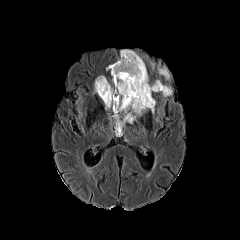
FLAIR magnetic resonance.
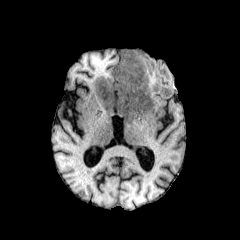
Same slice, T1-weighted MRI.
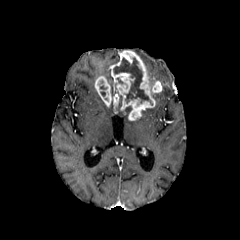
Post-contrast T1-weighted magnetic resonance.
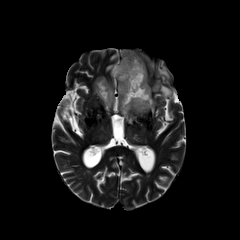
Same slice, T2-weighted MR.
Brain
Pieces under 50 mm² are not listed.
necrotic_tumor_core:
  - rect(113, 58, 149, 103)
enhancing_tumor:
  - rect(94, 50, 162, 120)
peritumoral_edema:
  - rect(108, 77, 113, 96)
  - rect(158, 66, 169, 79)
  - rect(160, 84, 172, 97)
  - rect(124, 106, 132, 123)